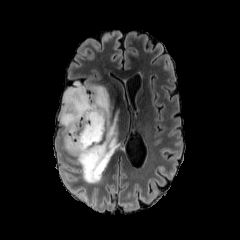
FLAIR magnetic resonance.
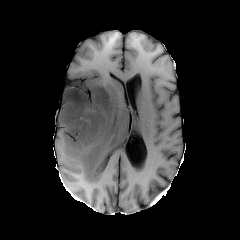
T1-weighted MR image of the same slice.
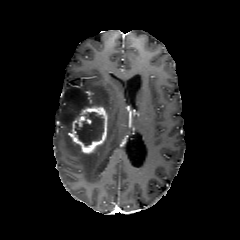
Same slice, post-contrast T1-weighted MR.
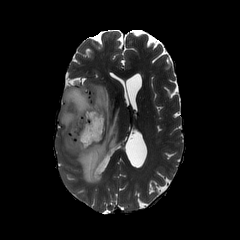
T2-weighted magnetic resonance.
Axial slice
enhancing_tumor:
  - 69:104:108:153
peritumoral_edema:
  - 59:83:119:183
necrotic_tumor_core:
  - 75:112:103:145